FLAIR MR image.
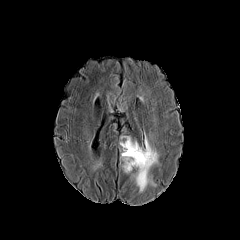
T1-weighted MR image.
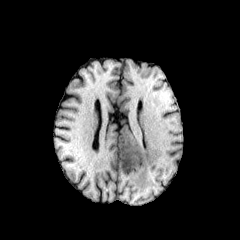
Post-contrast T1-weighted MR.
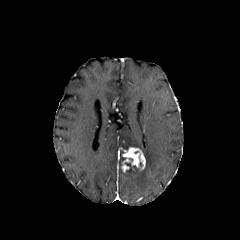
T2-weighted MR image.
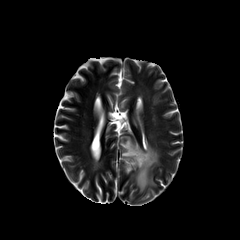
Brain; 240x240; Axial plane
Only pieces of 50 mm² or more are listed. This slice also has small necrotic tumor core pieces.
peritumoral edema: bounding box x1=134, y1=139, x2=159, y2=192; x1=120, y1=136, x2=139, y2=150
enhancing tumor: bounding box x1=121, y1=147, x2=145, y2=172